FLAIR magnetic resonance.
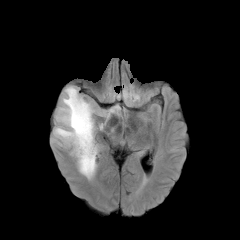
T1-weighted magnetic resonance.
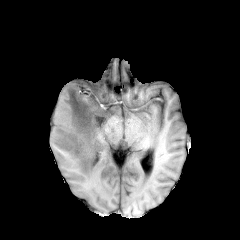
Post-contrast T1-weighted magnetic resonance.
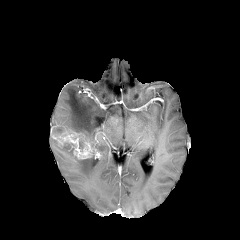
T2-weighted MR image.
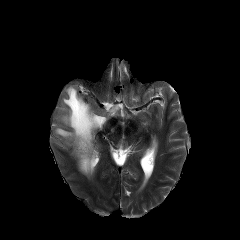
Image size 240x240
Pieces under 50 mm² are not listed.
Findings:
- enhancing tumor: l=53, t=130, r=94, b=159
- peritumoral edema: l=53, t=86, r=96, b=146; l=60, t=144, r=96, b=179